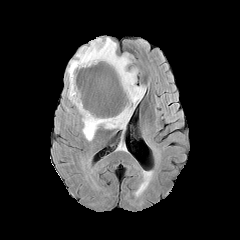
FLAIR MR image.
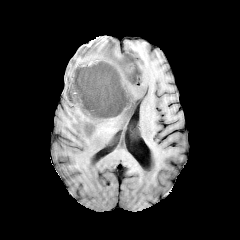
T1-weighted MR image of the same slice.
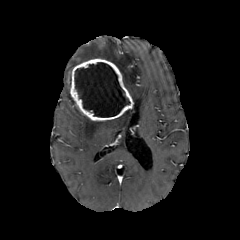
Post-contrast T1-weighted MR.
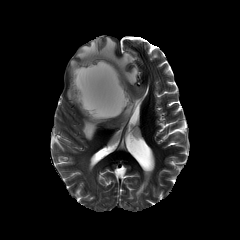
Same slice, T2-weighted MRI.
Axial view. Head.
Segmented structures:
• enhancing tumor: 69 58 133 121
• necrotic tumor core: 75 62 129 117
• peritumoral edema: 67 37 145 140